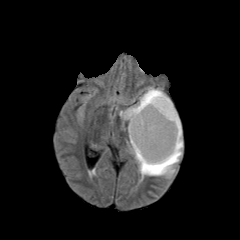
FLAIR MR.
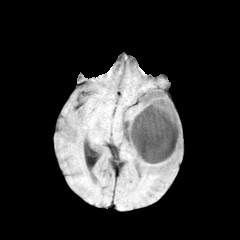
T1-weighted MRI.
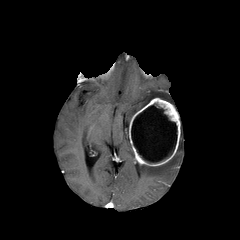
Post-contrast T1-weighted magnetic resonance.
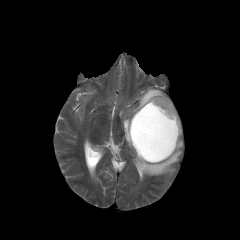
T2-weighted MR of the same slice.
Head
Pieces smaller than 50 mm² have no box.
Findings:
- peritumoral edema: bbox(137, 126, 182, 179); bbox(119, 87, 172, 131)
- enhancing tumor: bbox(128, 97, 180, 166)
- necrotic tumor core: bbox(131, 104, 177, 162)